FLAIR MR image.
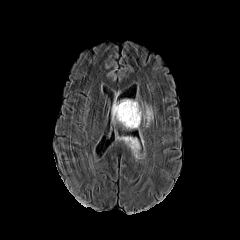
T1-weighted magnetic resonance.
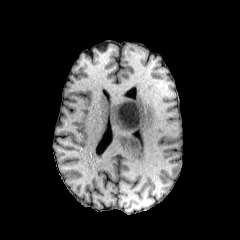
Post-contrast T1-weighted MRI.
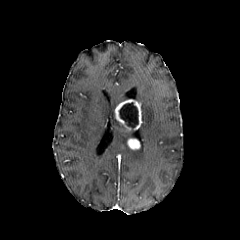
T2-weighted MR image.
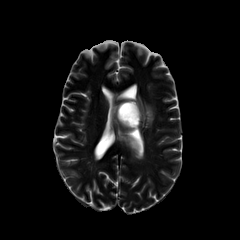
Brain
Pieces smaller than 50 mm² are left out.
necrotic tumor core at region(119, 102, 138, 128)
peritumoral edema at region(112, 99, 118, 123); region(132, 150, 144, 159); region(141, 103, 153, 127); region(117, 136, 132, 143)
enhancing tumor at region(114, 99, 142, 130); region(127, 138, 140, 149)